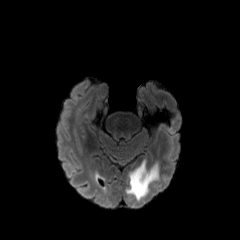
FLAIR magnetic resonance.
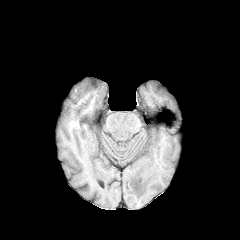
T1-weighted MR.
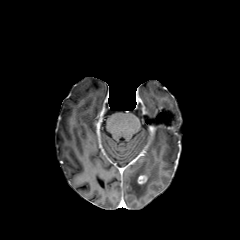
Post-contrast T1-weighted MR.
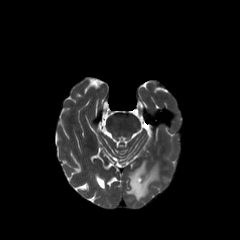
Same slice, T2-weighted MRI.
Axial view
<segmentation>
  <enhancing_tumor>(138, 175, 147, 184)</enhancing_tumor>
  <peritumoral_edema>(126, 161, 158, 200)</peritumoral_edema>
</segmentation>